Image covers 240 mm x 240 mm, Axial slice, 240x240 px, Brain
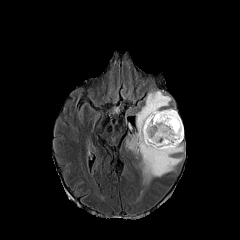
FLAIR MRI.
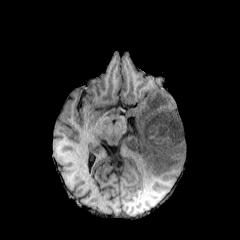
T1-weighted MRI.
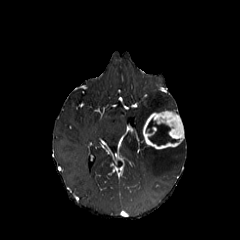
Post-contrast T1-weighted MR.
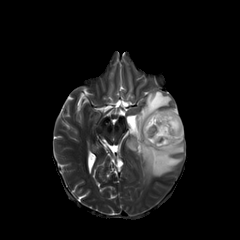
T2-weighted MRI of the same slice.
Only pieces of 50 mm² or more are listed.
The enhancing tumor lies within 142, 110, 184, 149. The necrotic tumor core lies within 146, 119, 177, 145. The largest peritumoral edema region appears at 126, 91, 184, 183.